FLAIR MRI.
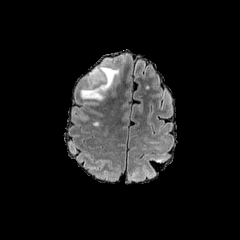
T1-weighted MR.
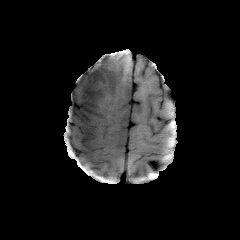
Post-contrast T1-weighted MR.
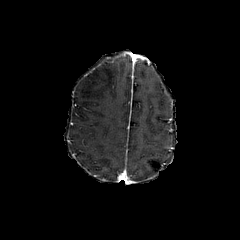
T2-weighted MR.
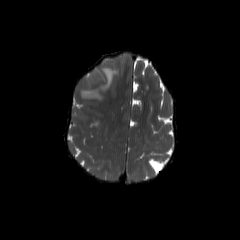
240x240.
Findings:
• peritumoral edema: bbox(80, 59, 119, 100)